FLAIR magnetic resonance.
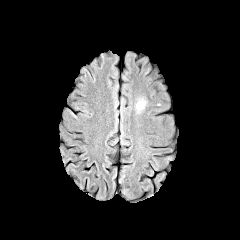
T1-weighted MR image.
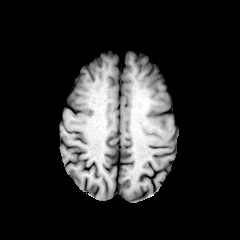
Post-contrast T1-weighted MRI.
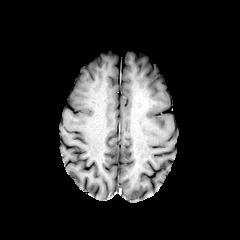
T2-weighted MR.
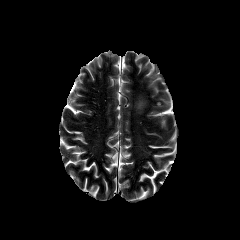
Head. Image size 240x240.
The peritumoral edema lies within [136,99,145,111].